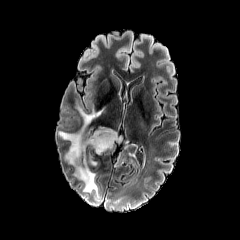
FLAIR MR.
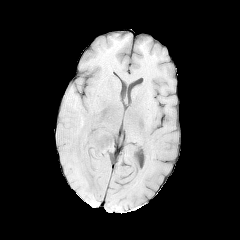
Same slice, T1-weighted magnetic resonance.
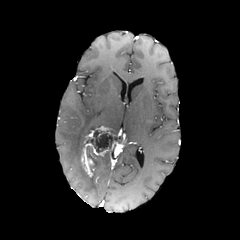
Same slice, post-contrast T1-weighted MRI.
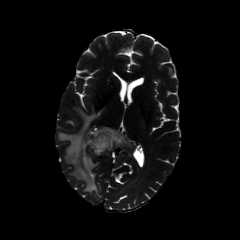
T2-weighted MRI.
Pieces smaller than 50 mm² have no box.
enhancing tumor = 81,126,128,176
peritumoral edema = 59,108,103,195
necrotic tumor core = 87,130,113,152